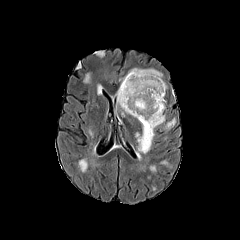
FLAIR MR image.
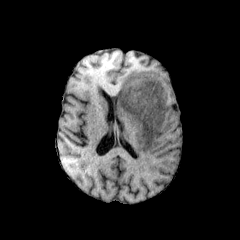
T1-weighted MR image.
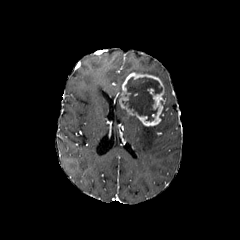
Post-contrast T1-weighted magnetic resonance of the same slice.
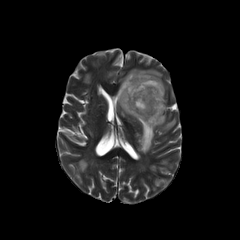
T2-weighted magnetic resonance of the same slice.
Head
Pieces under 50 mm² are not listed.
necrotic tumor core at left=125, top=77, right=162, bottom=120
peritumoral edema at left=163, top=118, right=175, bottom=130; left=135, top=115, right=165, bottom=154; left=118, top=68, right=167, bottom=93
enhancing tumor at left=119, top=72, right=165, bottom=126